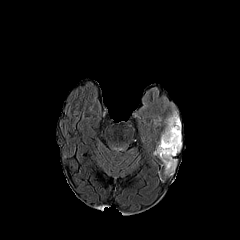
FLAIR MR.
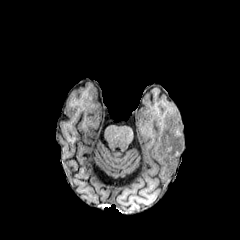
T1-weighted magnetic resonance.
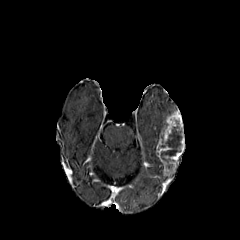
Post-contrast T1-weighted MR.
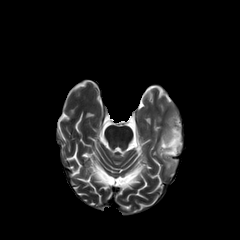
T2-weighted MR.
Brain, Axial plane, Image size 240x240
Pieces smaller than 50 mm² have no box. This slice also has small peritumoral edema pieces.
enhancing tumor — x1=156, y1=110, x2=184, y2=175
necrotic tumor core — x1=161, y1=126, x2=181, y2=162